FLAIR MR.
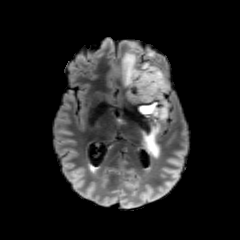
T1-weighted magnetic resonance.
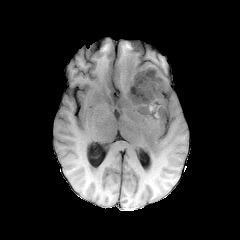
Post-contrast T1-weighted MR image.
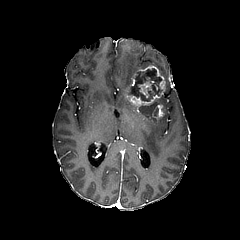
T2-weighted magnetic resonance.
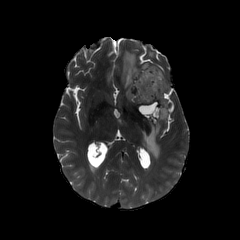
Image size 240x240
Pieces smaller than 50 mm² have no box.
necrotic tumor core: (131, 68, 162, 101), (139, 103, 156, 114) | peritumoral edema: (159, 68, 168, 89), (122, 51, 150, 85), (142, 96, 168, 157) | enhancing tumor: (152, 105, 164, 117), (139, 81, 154, 97), (126, 65, 165, 107)